Head | Image size 240x240
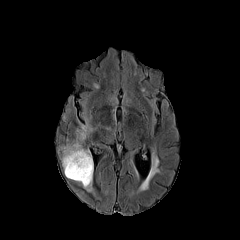
FLAIR MRI.
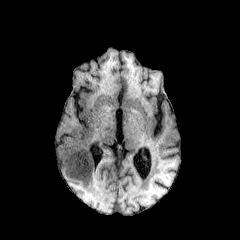
T1-weighted MR image.
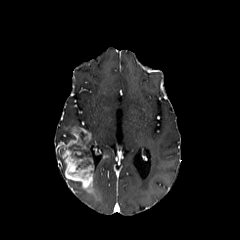
Post-contrast T1-weighted MR.
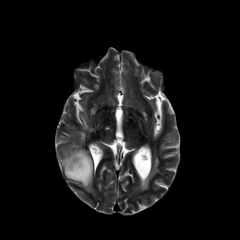
T2-weighted MR of the same slice.
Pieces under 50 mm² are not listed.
<segmentation>
  <peritumoral_edema>79:114:92:131</peritumoral_edema>
  <enhancing_tumor>58:126:102:200</enhancing_tumor>
  <necrotic_tumor_core>69:144:89:158, 78:159:92:168</necrotic_tumor_core>
</segmentation>